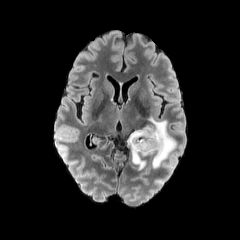
FLAIR MR.
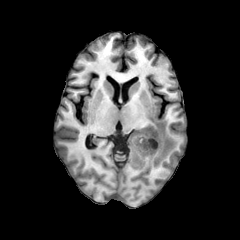
T1-weighted MRI of the same slice.
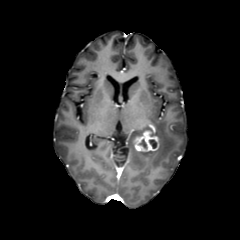
Same slice, post-contrast T1-weighted MRI.
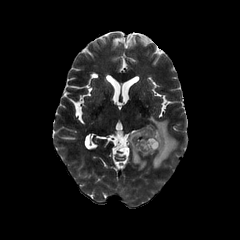
T2-weighted MR.
Head
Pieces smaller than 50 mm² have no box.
Segmented structures:
- enhancing tumor: (134, 129, 159, 151)
- necrotic tumor core: (149, 139, 157, 148)
- peritumoral edema: (127, 115, 176, 170)